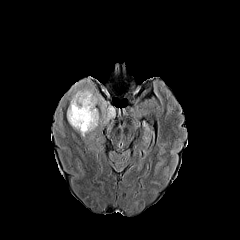
FLAIR magnetic resonance.
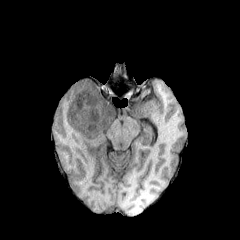
T1-weighted MR of the same slice.
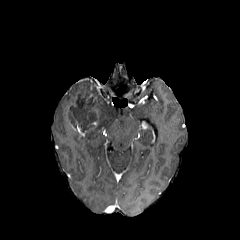
Post-contrast T1-weighted MR image of the same slice.
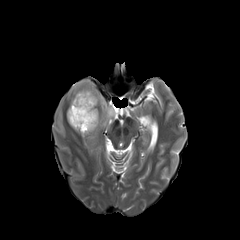
T2-weighted MRI.
240x240 px.
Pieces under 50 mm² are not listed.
The largest peritumoral edema region lies within [x1=69, y1=80, x2=114, y2=125]. The necrotic tumor core is bounded by [x1=68, y1=94, x2=100, y2=132]. The largest enhancing tumor region is bounded by [x1=71, y1=121, x2=93, y2=136].